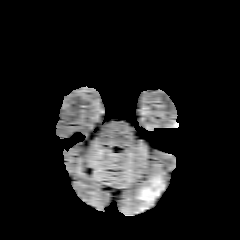
FLAIR MR image.
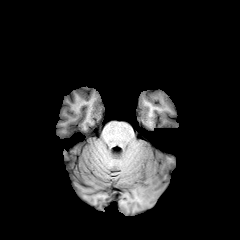
T1-weighted MR.
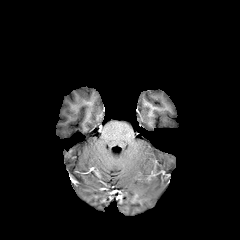
Post-contrast T1-weighted magnetic resonance of the same slice.
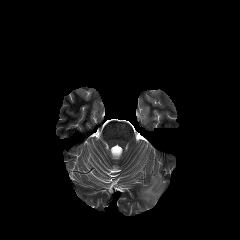
T2-weighted MR of the same slice.
Axial plane. Head.
peritumoral edema at [138,175,164,208]